FLAIR MRI.
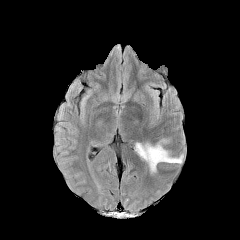
T1-weighted MR image.
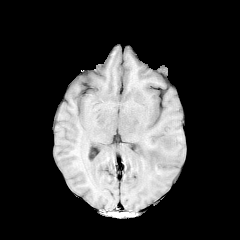
Post-contrast T1-weighted MR image.
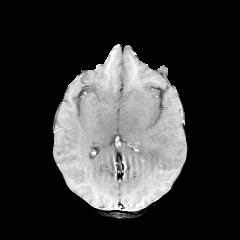
T2-weighted MR image.
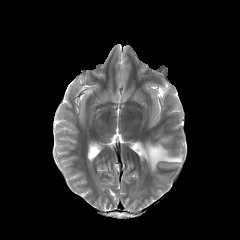
Image size 240x240, Axial plane
{"peritumoral_edema": ["box(135, 139, 183, 172)"]}